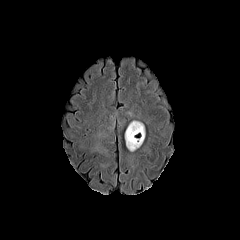
FLAIR MR image.
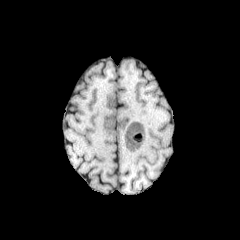
T1-weighted MR image.
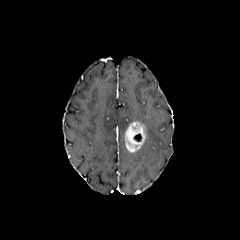
Post-contrast T1-weighted MR.
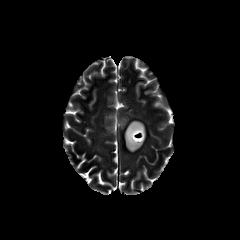
T2-weighted MR image.
Head
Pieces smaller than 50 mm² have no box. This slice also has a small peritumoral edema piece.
necrotic tumor core = (134,134,141,141)
enhancing tumor = (124,121,145,152)